FLAIR MR image.
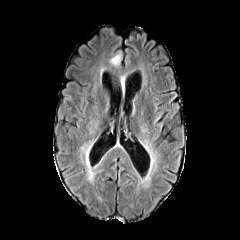
T1-weighted magnetic resonance.
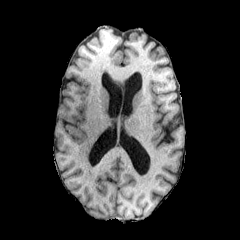
Post-contrast T1-weighted MR image.
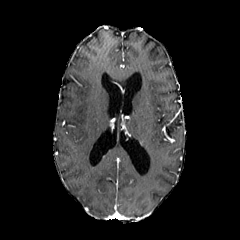
T2-weighted MR image.
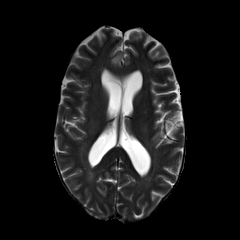
Axial view; 240x240; Head
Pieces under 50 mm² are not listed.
The largest peritumoral edema region appears at x1=110, y1=54, x2=120, y2=65.